Axial slice. Brain. 240x240 px. Image covers 240 mm x 240 mm.
FLAIR MR image.
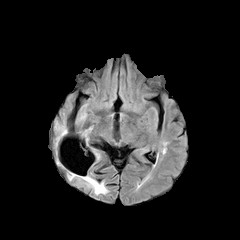
T1-weighted MR image.
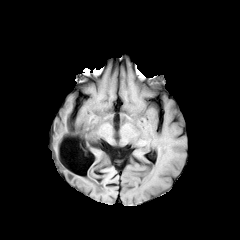
Post-contrast T1-weighted MR.
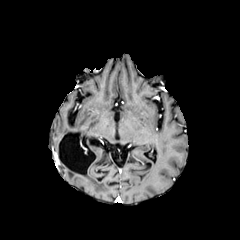
T2-weighted MR.
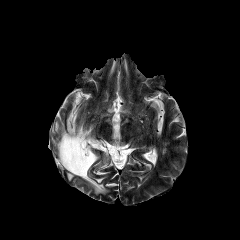
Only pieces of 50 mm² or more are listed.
The 2 largest peritumoral edema regions appear at (left=78, top=174, right=107, bottom=194), (left=55, top=123, right=66, bottom=145).